Head | Axial slice | 240x240
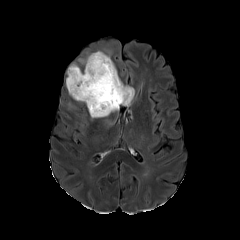
FLAIR MR image.
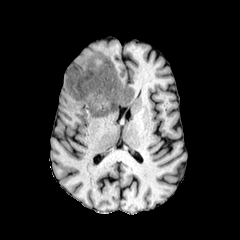
T1-weighted MRI of the same slice.
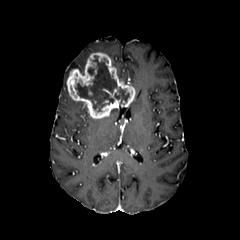
Same slice, post-contrast T1-weighted MRI.
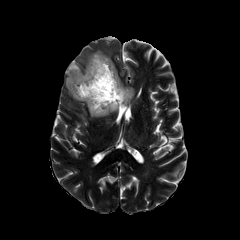
T2-weighted MRI of the same slice.
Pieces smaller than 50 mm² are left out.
enhancing tumor = (x1=66, y1=52, x2=135, y2=118)
peritumoral edema = (x1=67, y1=63, x2=83, y2=76), (x1=79, y1=53, x2=91, y2=64)
necrotic tumor core = (x1=75, y1=56, x2=116, y2=111), (x1=114, y1=87, x2=129, y2=103)